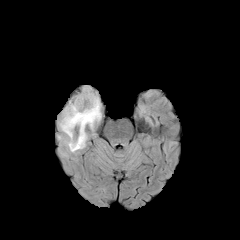
FLAIR MRI.
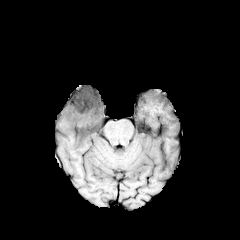
T1-weighted MR.
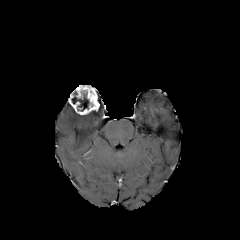
Same slice, post-contrast T1-weighted MRI.
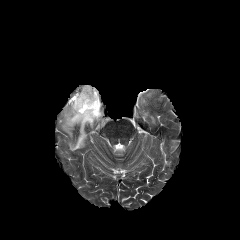
T2-weighted MRI of the same slice.
Brain
{"enhancing_tumor": ["(x1=68, y1=85, x2=99, y2=114)"], "peritumoral_edema": ["(x1=60, y1=102, x2=101, y2=151)"], "necrotic_tumor_core": ["(x1=72, y1=95, x2=88, y2=110)"]}